FLAIR magnetic resonance.
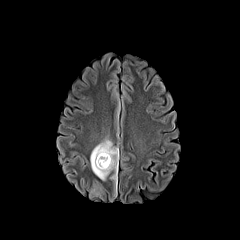
T1-weighted MR.
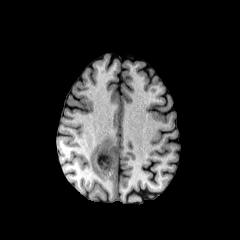
Post-contrast T1-weighted MRI.
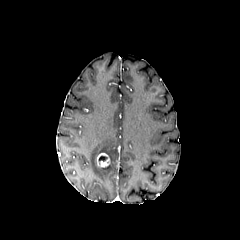
T2-weighted MR.
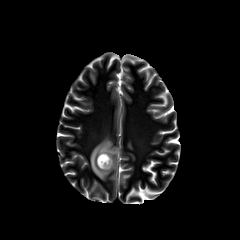
Axial slice, 240x240 px
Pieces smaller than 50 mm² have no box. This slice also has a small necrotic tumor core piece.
{
  "enhancing_tumor": [
    "x1=96 y1=153 x2=110 y2=167"
  ],
  "peritumoral_edema": [
    "x1=90 y1=136 x2=117 y2=180"
  ]
}